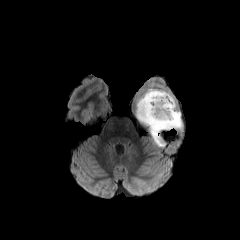
FLAIR MR.
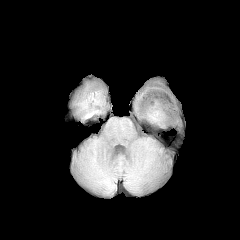
T1-weighted MRI.
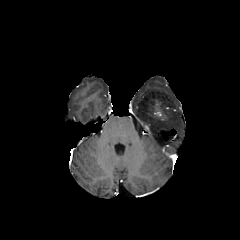
Post-contrast T1-weighted MR.
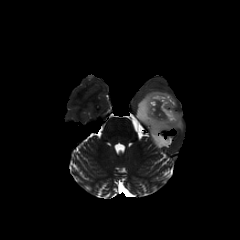
T2-weighted magnetic resonance of the same slice.
240x240 px. Brain.
The enhancing tumor is at (left=147, top=100, right=171, bottom=121). The peritumoral edema appears at (left=136, top=88, right=182, bottom=146).